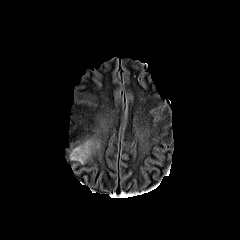
FLAIR magnetic resonance.
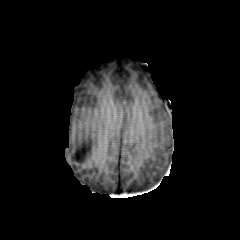
Same slice, T1-weighted MR.
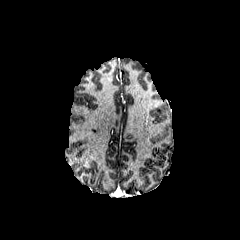
Post-contrast T1-weighted MR.
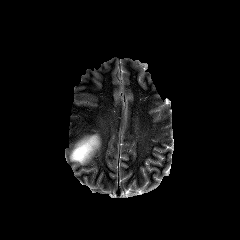
T2-weighted MR of the same slice.
{
  "necrotic_tumor_core": [
    "76:148:84:157"
  ],
  "peritumoral_edema": [
    "69:136:100:164"
  ]
}